Slice index 123. Brain. Axial view.
FLAIR MR image.
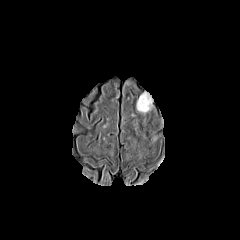
T1-weighted magnetic resonance.
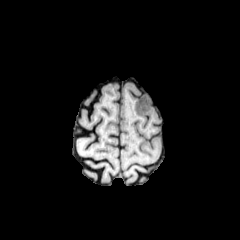
Post-contrast T1-weighted MR image.
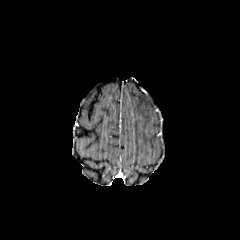
T2-weighted magnetic resonance.
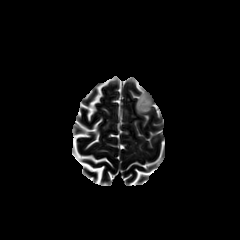
Findings:
- peritumoral edema: (136, 92, 152, 112)